Slice 88 of 155, Brain, 240x240 px, Axial plane
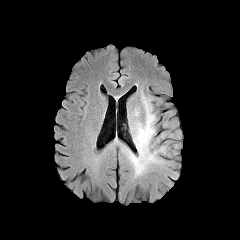
FLAIR magnetic resonance.
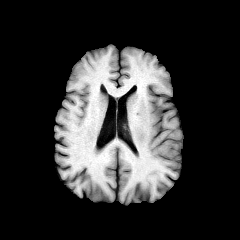
T1-weighted MRI of the same slice.
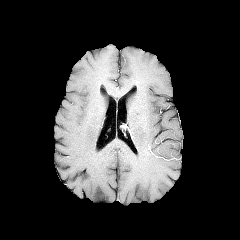
Same slice, post-contrast T1-weighted magnetic resonance.
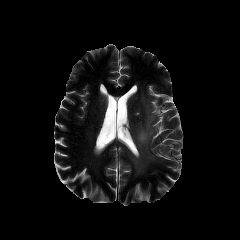
Same slice, T2-weighted magnetic resonance.
The peritumoral edema is located at rect(130, 98, 156, 172).